FLAIR MRI.
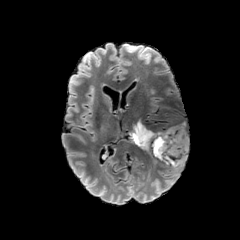
T1-weighted magnetic resonance.
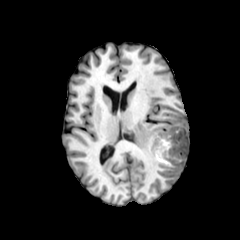
Post-contrast T1-weighted MR image.
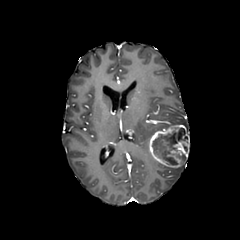
T2-weighted MR.
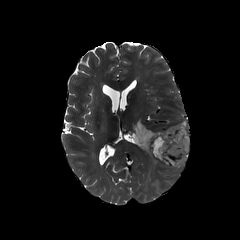
Head
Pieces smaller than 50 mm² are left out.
necrotic_tumor_core:
  - 152,127,187,165
enhancing_tumor:
  - 148,124,189,167
peritumoral_edema:
  - 128,119,154,153